240x240, Slice 85 of 155, Axial slice, Head
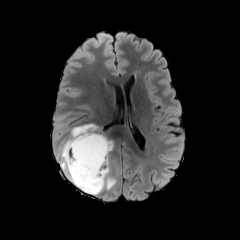
FLAIR MRI.
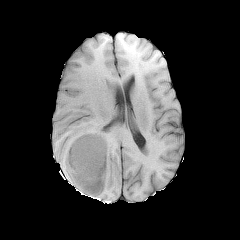
Same slice, T1-weighted MR image.
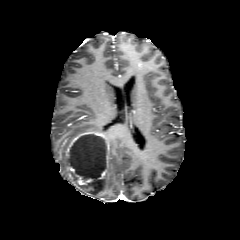
Post-contrast T1-weighted MR image.
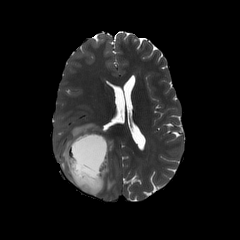
T2-weighted MR.
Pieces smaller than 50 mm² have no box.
{"enhancing_tumor": ["(left=63, top=132, right=109, bottom=195)"], "necrotic_tumor_core": ["(left=66, top=134, right=106, bottom=177)", "(left=86, top=181, right=102, bottom=190)"], "peritumoral_edema": ["(left=97, top=140, right=115, bottom=194)", "(left=55, top=123, right=97, bottom=191)"]}